FLAIR MRI.
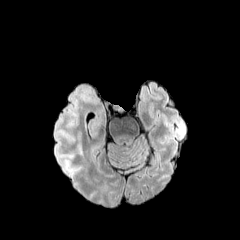
T1-weighted MR.
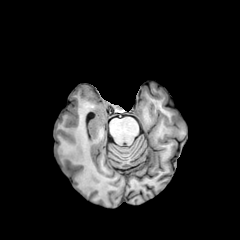
Post-contrast T1-weighted MRI.
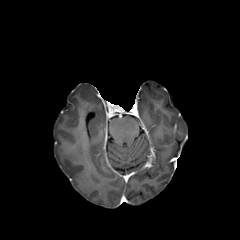
T2-weighted MR.
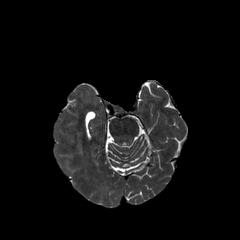
240x240 px
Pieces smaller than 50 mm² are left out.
peritumoral edema at <box>78,132,82,155</box>